FLAIR magnetic resonance.
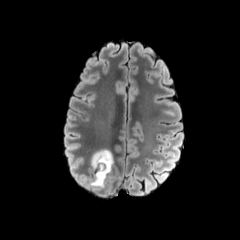
T1-weighted magnetic resonance.
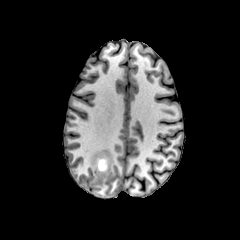
Post-contrast T1-weighted MR.
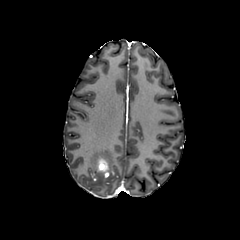
T2-weighted magnetic resonance.
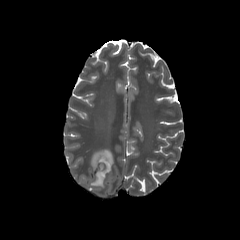
240x240 | Axial view
{
  "enhancing_tumor": [
    "rect(98, 158, 109, 177)"
  ],
  "peritumoral_edema": [
    "rect(89, 149, 114, 189)"
  ]
}